FLAIR MR.
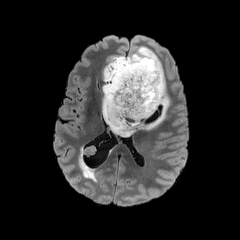
T1-weighted MRI.
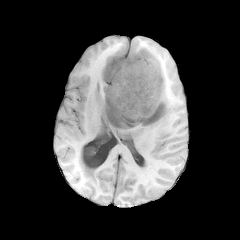
Post-contrast T1-weighted MR image.
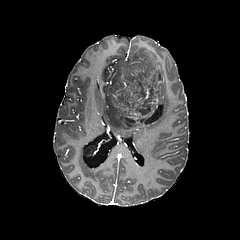
T2-weighted MR.
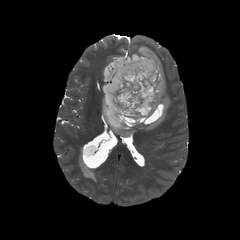
Brain
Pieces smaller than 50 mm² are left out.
necrotic tumor core at left=105, top=55, right=166, bottom=128
peritumoral edema at left=102, top=46, right=169, bottom=137